Head. Axial plane.
FLAIR MR.
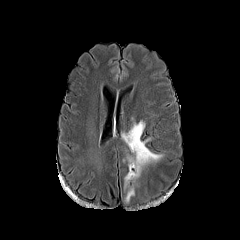
T1-weighted MR image.
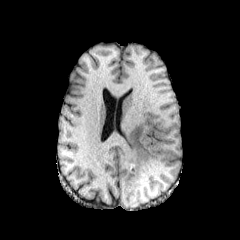
Post-contrast T1-weighted magnetic resonance.
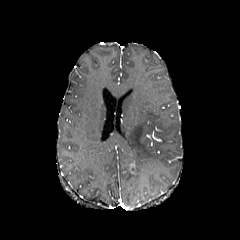
T2-weighted MRI.
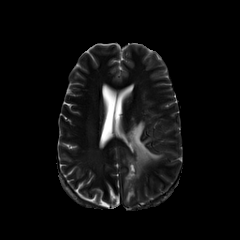
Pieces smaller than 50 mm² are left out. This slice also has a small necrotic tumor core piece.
2 peritumoral edema regions are located at 125:187:134:202, 122:121:162:187. 2 enhancing tumor regions appear at 129:164:136:173, 128:177:135:186.